240x240 px.
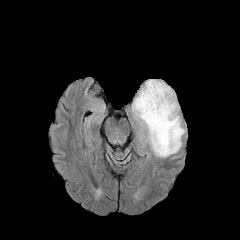
FLAIR MR image.
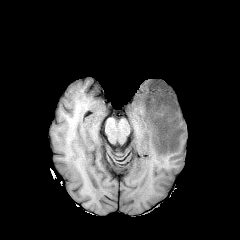
T1-weighted MRI.
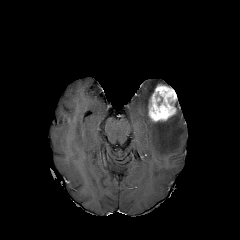
Post-contrast T1-weighted magnetic resonance of the same slice.
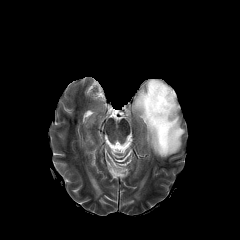
T2-weighted MR.
peritumoral edema: 131, 79, 185, 157
enhancing tumor: 148, 83, 177, 122